Brain, Image width 240 mm, 240x240
FLAIR MRI.
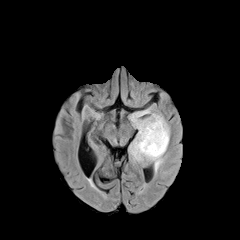
T1-weighted MRI.
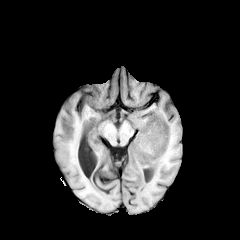
Post-contrast T1-weighted MR.
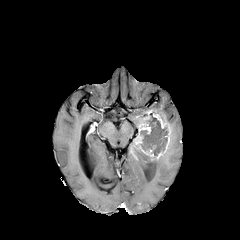
T2-weighted MR.
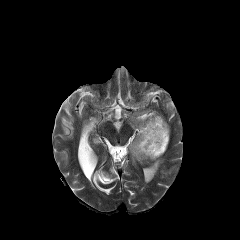
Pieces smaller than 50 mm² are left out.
The largest enhancing tumor region lies within [x1=130, y1=113, x2=170, y2=159]. The largest necrotic tumor core region is bounded by [x1=140, y1=116, x2=168, y2=156]. The 2 largest peritumoral edema regions appear at [x1=128, y1=142, x2=156, y2=163], [x1=129, y1=108, x2=158, y2=136].